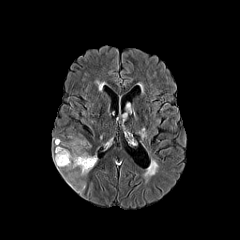
FLAIR MR.
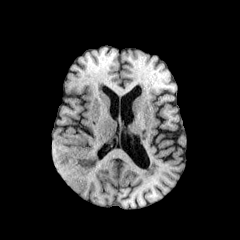
T1-weighted MR image.
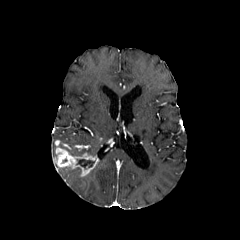
Post-contrast T1-weighted MRI.
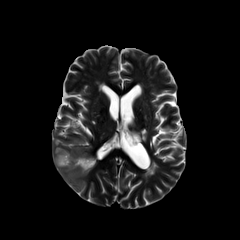
T2-weighted MRI of the same slice.
Axial view | Brain
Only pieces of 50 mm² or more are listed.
Findings:
* enhancing tumor: [x1=53, y1=140, x2=98, y2=176]
* necrotic tumor core: [x1=77, y1=159, x2=94, y2=168]
* peritumoral edema: [x1=150, y1=161, x2=157, y2=174], [x1=68, y1=136, x2=86, y2=154], [x1=54, y1=163, x2=86, y2=193]